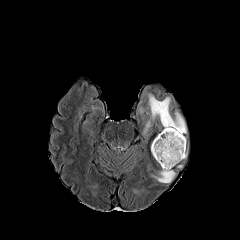
FLAIR magnetic resonance.
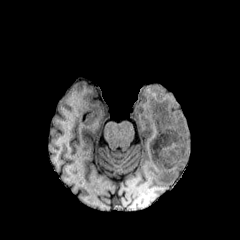
Same slice, T1-weighted magnetic resonance.
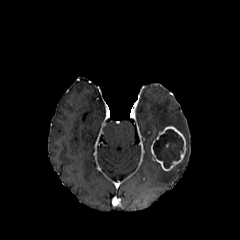
Post-contrast T1-weighted MR of the same slice.
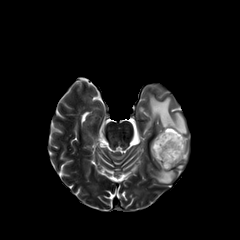
Same slice, T2-weighted MR.
240x240
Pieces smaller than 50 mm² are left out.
enhancing tumor = bbox=[151, 126, 186, 170]
peritumoral edema = bbox=[147, 92, 187, 134]; bbox=[150, 169, 175, 183]; bbox=[143, 120, 151, 132]
necrotic tumor core = bbox=[153, 129, 183, 168]